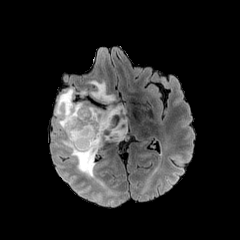
FLAIR MR.
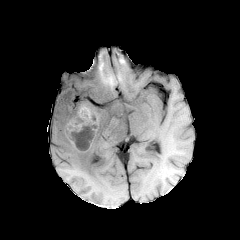
T1-weighted MR of the same slice.
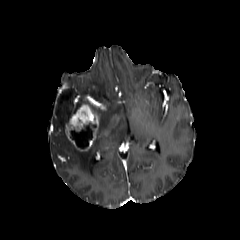
Post-contrast T1-weighted MR.
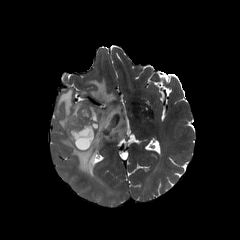
T2-weighted MRI.
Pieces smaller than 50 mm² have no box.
{
  "necrotic_tumor_core": [
    "region(69, 123, 95, 149)"
  ],
  "peritumoral_edema": [
    "region(88, 80, 116, 103)",
    "region(55, 88, 86, 130)",
    "region(59, 103, 128, 177)"
  ],
  "enhancing_tumor": [
    "region(66, 104, 98, 150)"
  ]
}